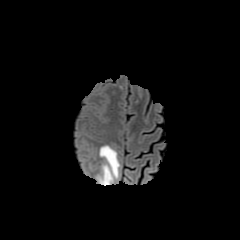
FLAIR MR image.
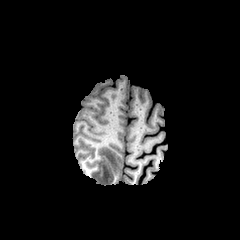
T1-weighted MRI.
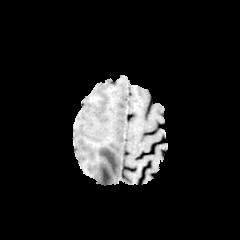
Post-contrast T1-weighted MR of the same slice.
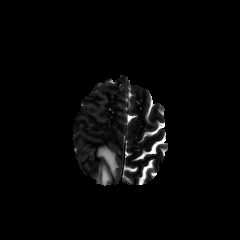
T2-weighted MR.
240x240.
The peritumoral edema is located at box=[95, 145, 120, 185].